FLAIR MRI.
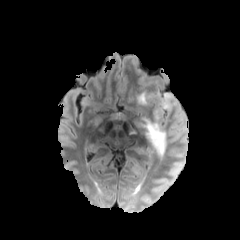
T1-weighted MR image.
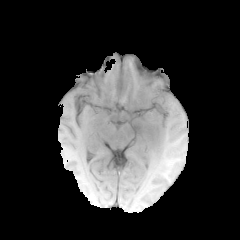
Post-contrast T1-weighted MR image.
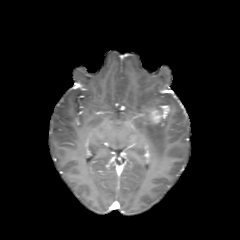
T2-weighted MRI.
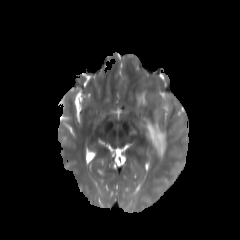
Axial view | Head | 240x240
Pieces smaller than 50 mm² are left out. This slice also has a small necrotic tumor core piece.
3 peritumoral edema regions are located at [137,93,145,103], [160,93,176,108], [141,119,166,158]. The enhancing tumor appears at [150,105,170,123].